FLAIR MRI.
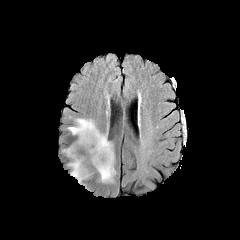
T1-weighted magnetic resonance.
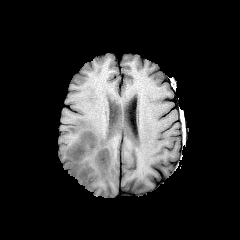
Post-contrast T1-weighted MR image.
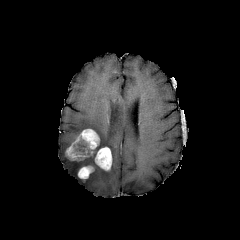
T2-weighted MRI.
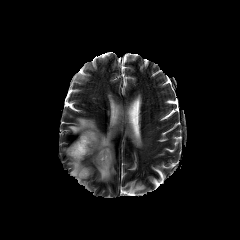
Image size 240x240
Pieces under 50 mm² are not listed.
necrotic tumor core = 76,141,86,152
peritumoral edema = 68,118,115,182; 68,160,87,188
enhancing tumor = 66,129,99,160; 95,147,111,170; 77,166,93,179